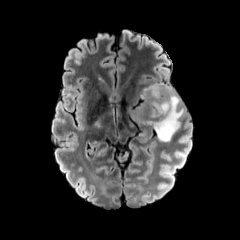
FLAIR magnetic resonance.
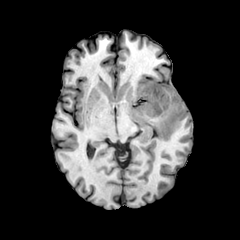
T1-weighted MR of the same slice.
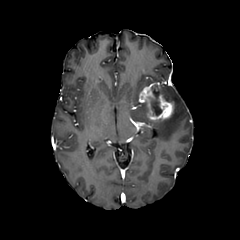
Post-contrast T1-weighted MR image of the same slice.
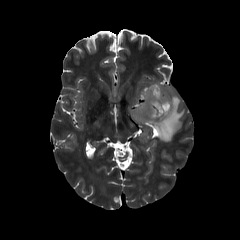
Same slice, T2-weighted MR.
Image size 240x240; Axial view
enhancing tumor — (x1=139, y1=83, x2=174, y2=120)
necrotic tumor core — (x1=151, y1=87, x2=162, y2=115)
peritumoral edema — (x1=147, y1=83, x2=184, y2=141), (x1=133, y1=103, x2=146, y2=119)